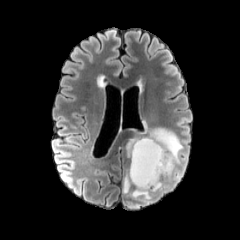
FLAIR MR.
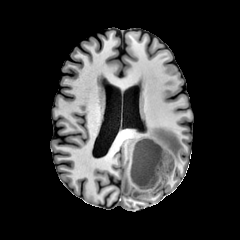
T1-weighted MRI.
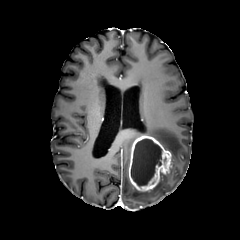
Post-contrast T1-weighted MR of the same slice.
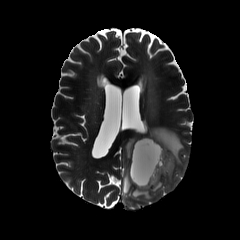
T2-weighted MRI.
Axial view | Head
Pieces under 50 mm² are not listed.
{"peritumoral_edema": ["(left=126, top=122, right=183, bottom=177)", "(left=123, top=170, right=162, bottom=203)"], "enhancing_tumor": ["(left=128, top=135, right=172, bottom=191)"], "necrotic_tumor_core": ["(left=131, top=139, right=161, bottom=186)"]}